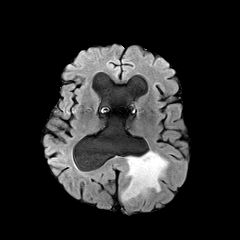
FLAIR MR.
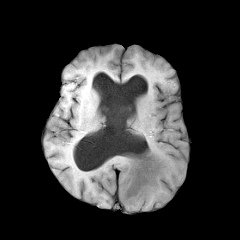
T1-weighted MRI.
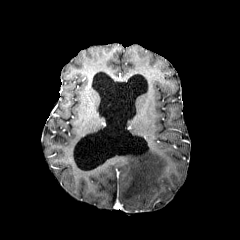
Post-contrast T1-weighted MR image of the same slice.
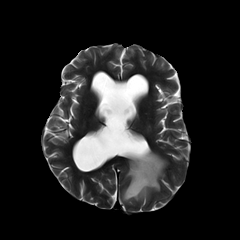
T2-weighted MRI.
Brain; 240x240; Axial plane
The peritumoral edema appears at rect(121, 150, 168, 202).